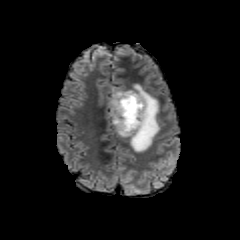
FLAIR MR image.
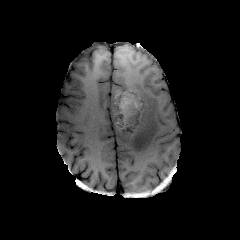
T1-weighted MR image.
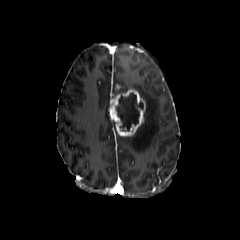
Post-contrast T1-weighted MR image.
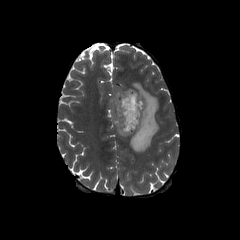
T2-weighted MR.
240x240
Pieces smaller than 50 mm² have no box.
Segmented structures:
• necrotic tumor core: <box>116,92,143,130</box>
• peritumoral edema: <box>112,88,127,96</box>, <box>121,83,160,152</box>
• enhancing tumor: <box>108,89,145,136</box>